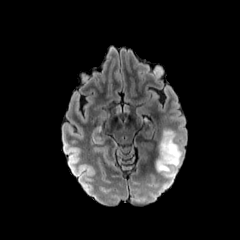
FLAIR magnetic resonance.
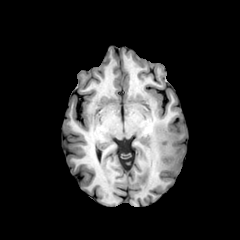
Same slice, T1-weighted MR.
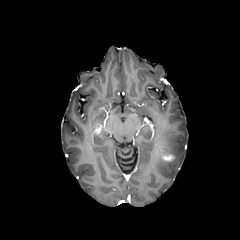
Post-contrast T1-weighted MR image.
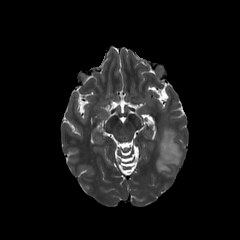
Same slice, T2-weighted magnetic resonance.
Image size 240x240
enhancing tumor: <box>162,154,174,161</box> | peritumoral edema: <box>156,130,182,176</box>